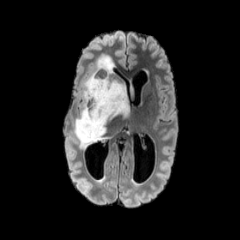
FLAIR MR.
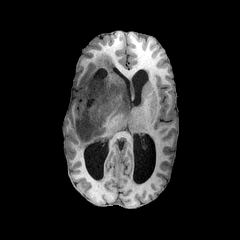
T1-weighted MR.
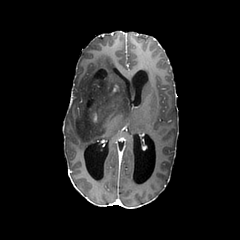
Post-contrast T1-weighted MR image of the same slice.
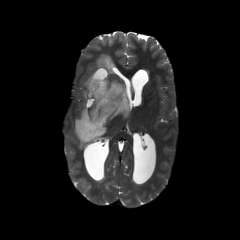
T2-weighted MRI.
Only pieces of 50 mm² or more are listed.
necrotic tumor core at 95 69 106 78
peritumoral edema at 74 54 129 149
enhancing tumor at 93 74 106 87